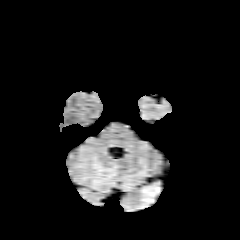
FLAIR magnetic resonance.
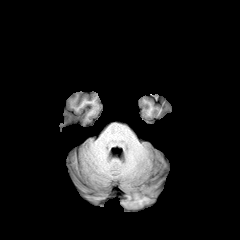
T1-weighted magnetic resonance.
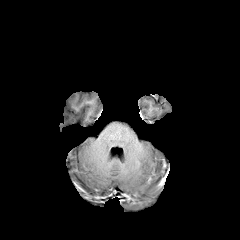
Post-contrast T1-weighted magnetic resonance.
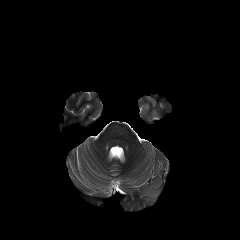
T2-weighted MR image of the same slice.
240x240. Axial slice.
peritumoral edema = left=141, top=184, right=159, bottom=203